FLAIR magnetic resonance.
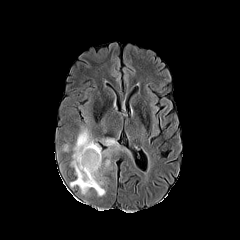
T1-weighted MR image.
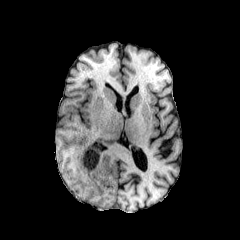
Post-contrast T1-weighted MR.
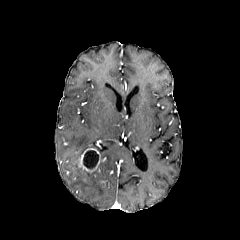
T2-weighted MRI.
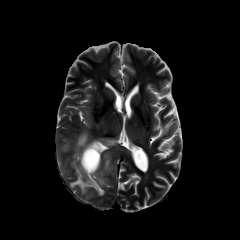
Axial plane. Brain. 240x240.
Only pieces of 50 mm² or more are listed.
peritumoral edema: bounding box left=104, top=139, right=118, bottom=149; left=104, top=159, right=110, bottom=168; left=70, top=129, right=109, bottom=196
enhancing tumor: bounding box left=78, top=148, right=100, bottom=172
necrotic tumor core: bounding box left=83, top=150, right=98, bottom=168